FLAIR magnetic resonance.
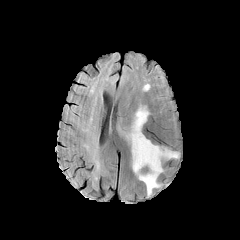
T1-weighted MRI.
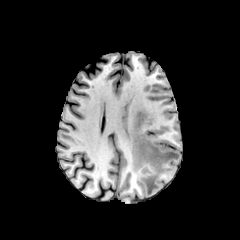
Post-contrast T1-weighted MR.
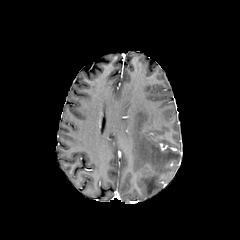
T2-weighted magnetic resonance.
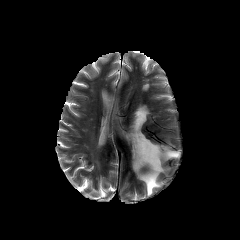
Brain; Axial view
peritumoral edema at 124 105 179 196